Image width 240 mm, 1.00 mm slice spacing
FLAIR magnetic resonance.
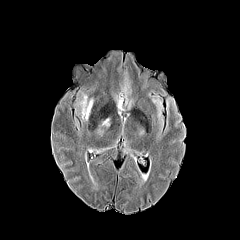
T1-weighted magnetic resonance.
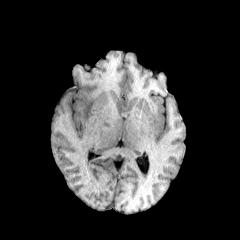
Post-contrast T1-weighted MRI.
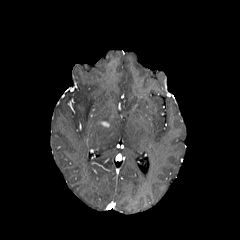
T2-weighted MR.
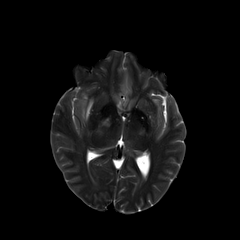
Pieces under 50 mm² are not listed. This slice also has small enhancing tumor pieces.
* peritumoral edema: 82 96 93 120